Image width 240 mm | Axial slice | Image size 240x240
FLAIR MR.
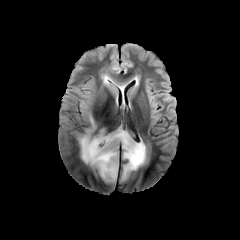
T1-weighted MRI.
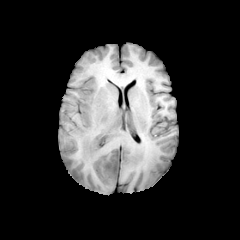
Post-contrast T1-weighted MRI.
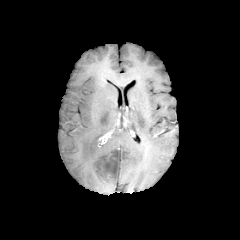
T2-weighted magnetic resonance.
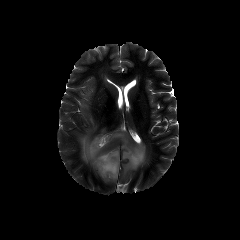
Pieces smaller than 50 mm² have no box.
necrotic tumor core — <box>106,151,118,172</box>
peritumoral edema — <box>79,129,146,181</box>